FLAIR MR.
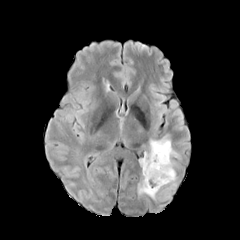
T1-weighted MR.
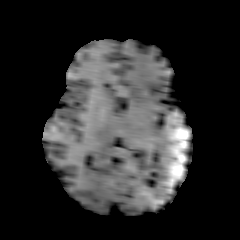
Post-contrast T1-weighted MRI.
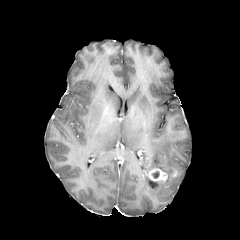
T2-weighted MR image.
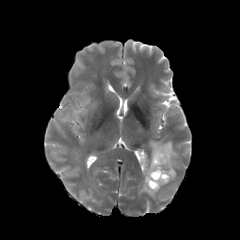
Head
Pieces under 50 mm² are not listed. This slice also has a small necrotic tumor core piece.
The largest peritumoral edema region is at {"x1": 138, "y1": 134, "x2": 179, "y2": 198}. The enhancing tumor is located at {"x1": 148, "y1": 168, "x2": 167, "y2": 182}.